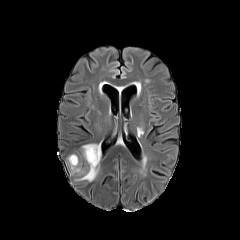
FLAIR MR.
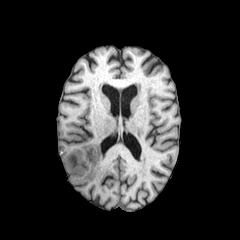
T1-weighted MRI.
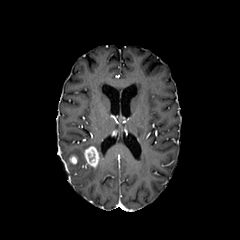
Same slice, post-contrast T1-weighted MR image.
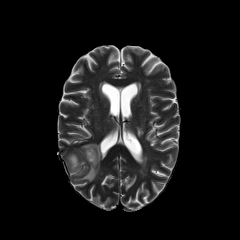
T2-weighted magnetic resonance of the same slice.
Image size 240x240
enhancing_tumor:
  - rect(84, 146, 99, 167)
  - rect(69, 156, 77, 164)
peritumoral_edema:
  - rect(76, 143, 101, 181)
  - rect(68, 154, 84, 173)